Slice 104 of 155. Brain.
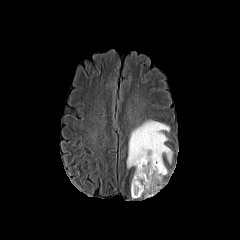
FLAIR magnetic resonance.
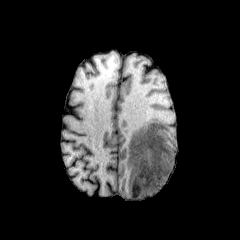
Same slice, T1-weighted MR image.
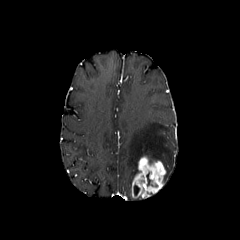
Same slice, post-contrast T1-weighted MR.
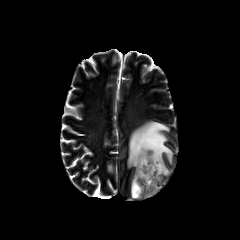
T2-weighted MR of the same slice.
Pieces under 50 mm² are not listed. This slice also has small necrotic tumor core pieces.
enhancing tumor: rect(131, 156, 166, 198) | peritumoral edema: rect(127, 120, 172, 178)